FLAIR magnetic resonance.
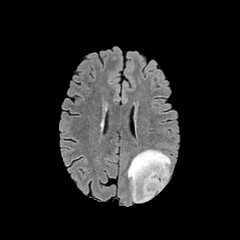
T1-weighted MR image.
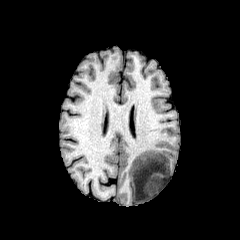
Post-contrast T1-weighted MRI.
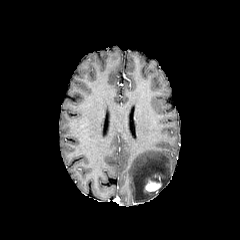
T2-weighted MR.
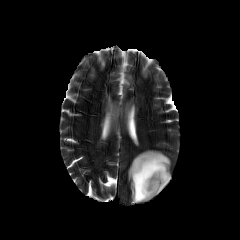
Brain
peritumoral edema = 128:150:170:202
enhancing tumor = 143:179:161:192